Axial view, Head
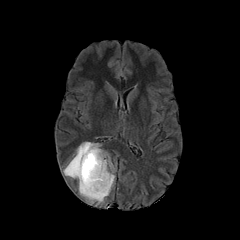
FLAIR magnetic resonance.
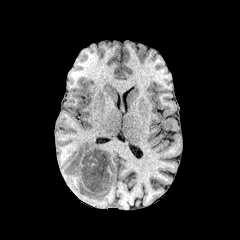
T1-weighted MR image.
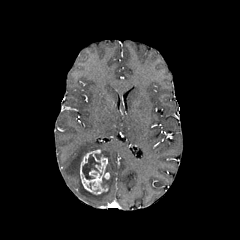
Post-contrast T1-weighted magnetic resonance.
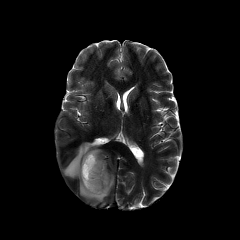
T2-weighted MRI.
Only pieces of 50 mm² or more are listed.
enhancing tumor at left=80, top=149, right=109, bottom=194
necrotic tumor core at left=82, top=154, right=100, bottom=179
peritumoral edema at left=63, top=142, right=114, bottom=204